Slice 40 of 155
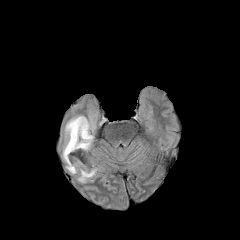
FLAIR MR.
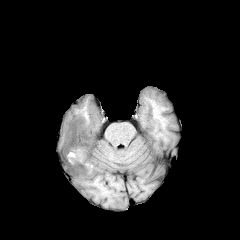
T1-weighted MRI.
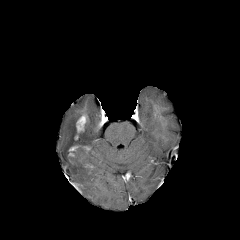
Same slice, post-contrast T1-weighted MRI.
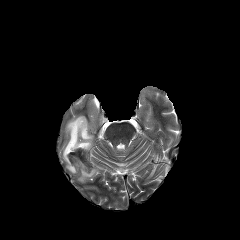
T2-weighted MRI.
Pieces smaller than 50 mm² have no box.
The 2 largest enhancing tumor regions are located at bbox=[74, 116, 86, 140]; bbox=[67, 144, 90, 156]. The largest necrotic tumor core region lies within bbox=[69, 148, 92, 165]. The largest peritumoral edema region is bounded by bbox=[62, 115, 100, 182].